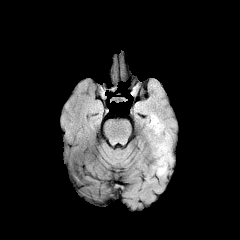
FLAIR MR image.
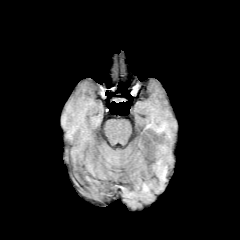
T1-weighted MR image of the same slice.
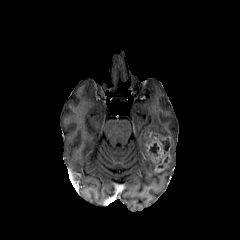
Post-contrast T1-weighted MR of the same slice.
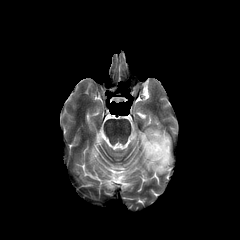
T2-weighted MRI of the same slice.
Brain
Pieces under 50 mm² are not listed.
enhancing tumor: region(144, 132, 171, 172) | necrotic tumor core: region(149, 143, 158, 155); region(161, 139, 170, 152) | peritumoral edema: region(156, 150, 172, 175); region(142, 114, 171, 155)